Image covers 240 mm x 240 mm; Slice index 41; Head
FLAIR MR image.
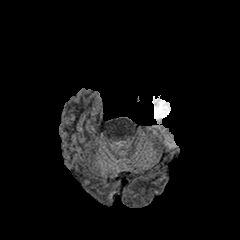
T1-weighted MRI.
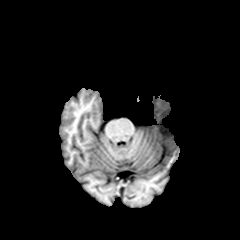
Post-contrast T1-weighted MR image.
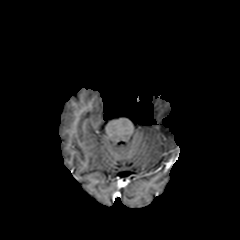
T2-weighted MR.
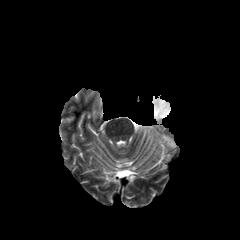
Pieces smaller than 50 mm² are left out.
Findings:
- peritumoral edema: l=152, t=96, r=170, b=123